FLAIR magnetic resonance.
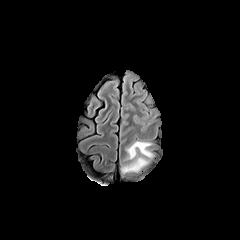
T1-weighted magnetic resonance.
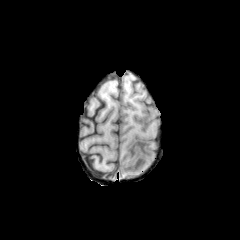
Post-contrast T1-weighted MR image.
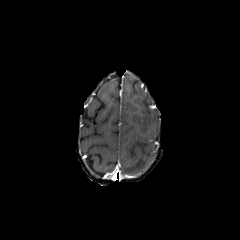
T2-weighted MR image.
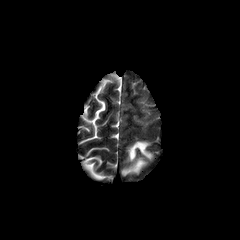
Image size 240x240; Brain; Axial slice
peritumoral edema: rect(121, 141, 155, 173)